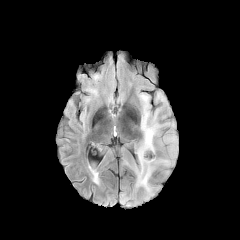
FLAIR MRI.
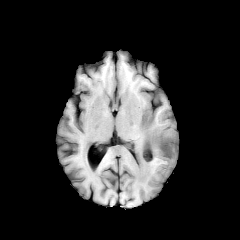
T1-weighted MR.
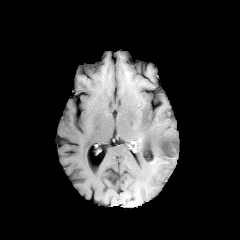
Post-contrast T1-weighted MR image.
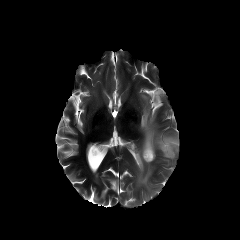
T2-weighted MR image of the same slice.
Axial slice; 240x240 px
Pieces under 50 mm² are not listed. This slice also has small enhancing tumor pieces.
Segmented structures:
- peritumoral edema: x1=158, y1=134, x2=177, y2=164; x1=135, y1=105, x2=160, y2=190